Axial plane; Slice index 42
FLAIR MR image.
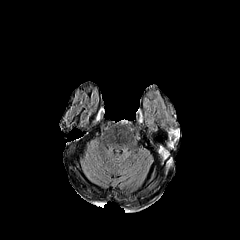
T1-weighted MRI.
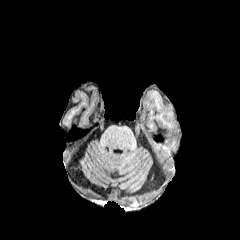
Post-contrast T1-weighted MR image.
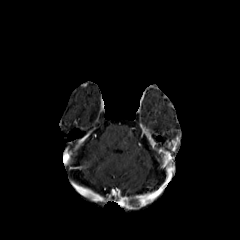
T2-weighted MRI.
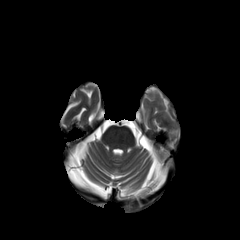
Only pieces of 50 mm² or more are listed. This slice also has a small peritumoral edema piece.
Findings:
* enhancing tumor: (166, 129, 180, 151)